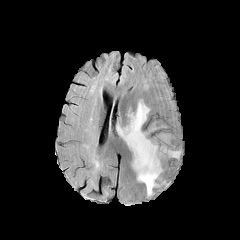
FLAIR MR.
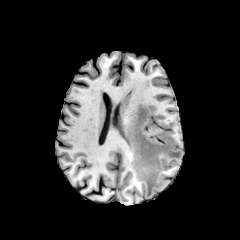
T1-weighted magnetic resonance of the same slice.
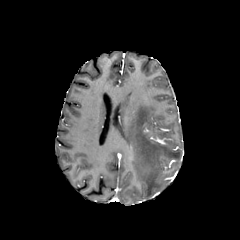
Post-contrast T1-weighted MR image.
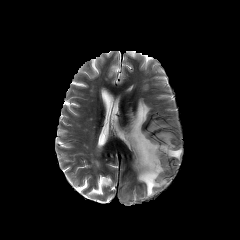
Same slice, T2-weighted MRI.
240x240 px
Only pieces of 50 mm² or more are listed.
{
  "peritumoral_edema": [
    "rect(117, 99, 181, 196)",
    "rect(159, 133, 170, 144)"
  ]
}